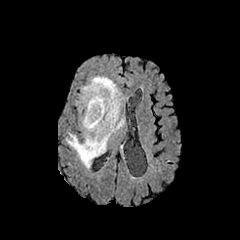
FLAIR MR.
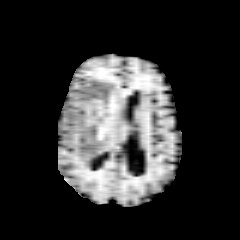
T1-weighted MR of the same slice.
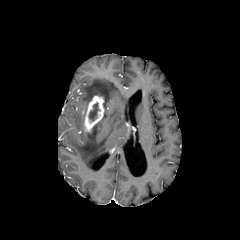
Post-contrast T1-weighted MRI of the same slice.
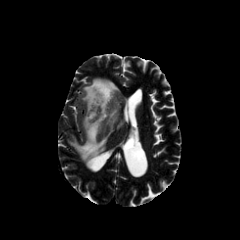
T2-weighted MRI.
240x240 px. Brain.
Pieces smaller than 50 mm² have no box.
The largest necrotic tumor core region lies within box=[89, 103, 100, 121]. The enhancing tumor appears at box=[84, 95, 104, 131]. The largest peritumoral edema region is located at box=[66, 76, 127, 167].